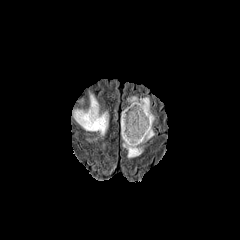
FLAIR MR.
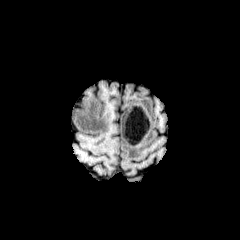
T1-weighted magnetic resonance.
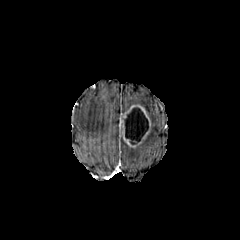
Post-contrast T1-weighted MRI.
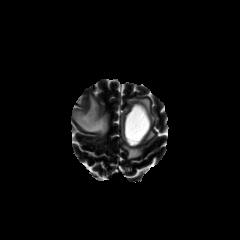
Same slice, T2-weighted MRI.
Axial view, 240x240 px
The enhancing tumor lies within <box>120,104,151,147</box>. 4 peritumoral edema regions appear at <box>122,97,154,123</box>, <box>123,143,142,158</box>, <box>74,95,108,135</box>, <box>143,126,154,142</box>. The necrotic tumor core is bounded by <box>124,107,148,144</box>.